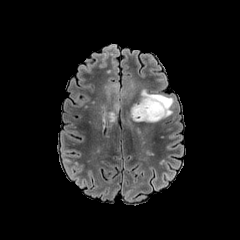
FLAIR MR.
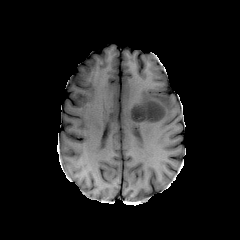
Same slice, T1-weighted MRI.
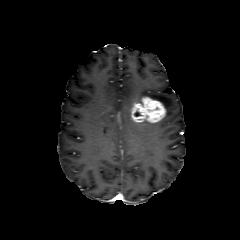
Post-contrast T1-weighted MR.
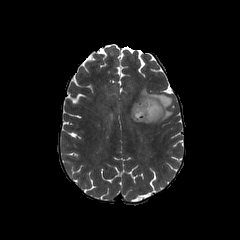
T2-weighted MRI.
Brain. Axial slice.
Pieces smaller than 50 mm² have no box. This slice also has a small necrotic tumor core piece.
<segmentation>
  <enhancing_tumor>131,97,166,122</enhancing_tumor>
  <peritumoral_edema>135,88,173,119; 108,111,119,121</peritumoral_edema>
</segmentation>